Head
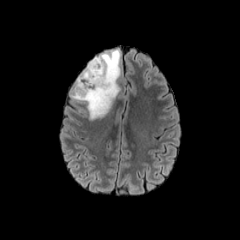
FLAIR MRI.
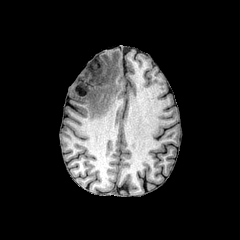
T1-weighted MR of the same slice.
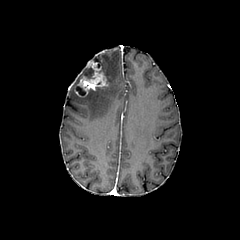
Post-contrast T1-weighted magnetic resonance of the same slice.
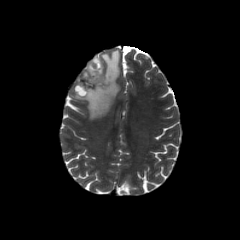
Same slice, T2-weighted MR.
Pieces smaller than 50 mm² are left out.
enhancing tumor: [74,60,108,97] | necrotic tumor core: [76,86,85,95] | peritumoral edema: [76,68,92,84], [72,49,120,120]